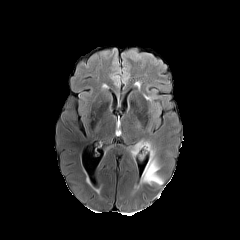
FLAIR MR image.
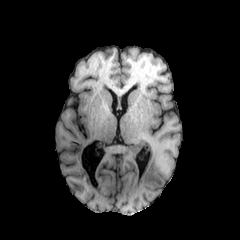
T1-weighted MR.
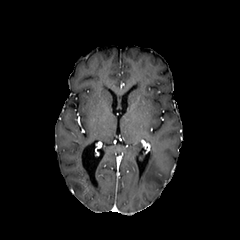
Post-contrast T1-weighted MR image.
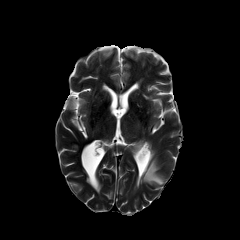
T2-weighted MR image of the same slice.
Head, 240x240
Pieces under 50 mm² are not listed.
peritumoral_edema:
  - (131, 142, 142, 155)
  - (141, 159, 163, 185)